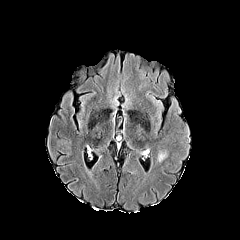
FLAIR MR.
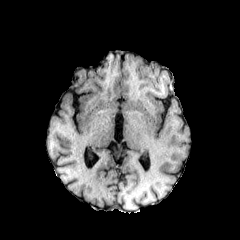
Same slice, T1-weighted magnetic resonance.
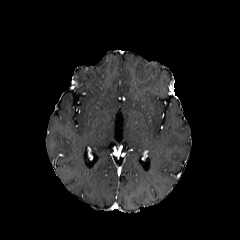
Post-contrast T1-weighted MR.
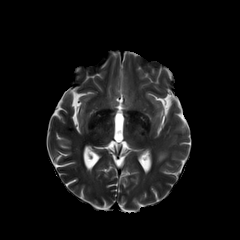
T2-weighted magnetic resonance of the same slice.
Axial view; Brain
peritumoral_edema:
  - box=[157, 152, 166, 161]